Image width 240 mm | Slice index 68 | Image size 240x240
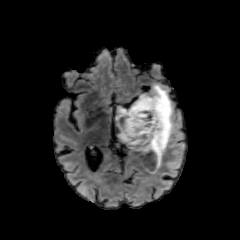
FLAIR magnetic resonance.
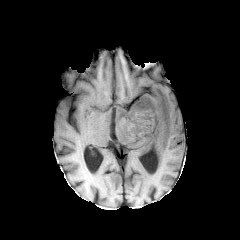
Same slice, T1-weighted magnetic resonance.
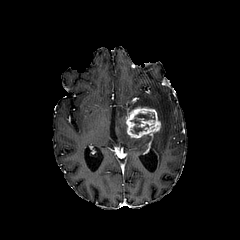
Post-contrast T1-weighted magnetic resonance of the same slice.
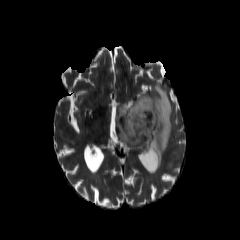
Same slice, T2-weighted MR.
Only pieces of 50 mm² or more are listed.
{"necrotic_tumor_core": ["region(130, 113, 156, 133)"], "enhancing_tumor": ["region(125, 106, 161, 164)"], "peritumoral_edema": ["region(114, 84, 173, 174)"]}